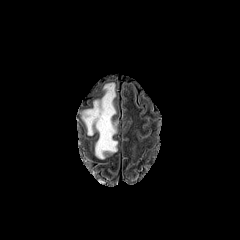
FLAIR magnetic resonance.
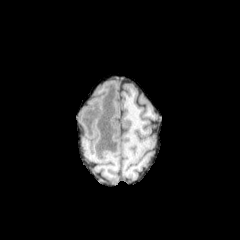
T1-weighted MR image of the same slice.
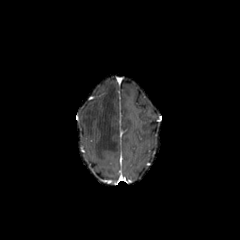
Post-contrast T1-weighted MRI.
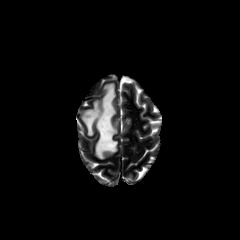
Same slice, T2-weighted MR image.
Head.
peritumoral edema: left=81, top=83, right=117, bottom=159